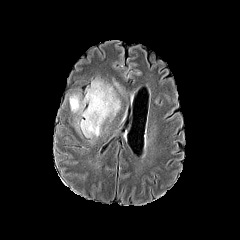
FLAIR MRI.
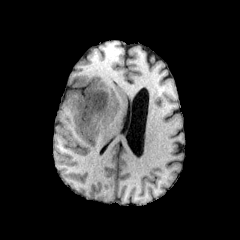
T1-weighted MRI.
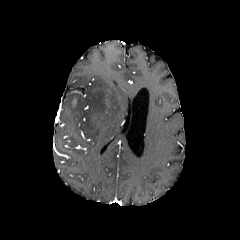
Post-contrast T1-weighted MRI.
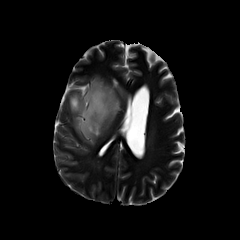
T2-weighted MR.
Axial slice
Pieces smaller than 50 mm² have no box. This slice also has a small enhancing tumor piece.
peritumoral edema at 70 79 120 137